Image covers 240 mm x 240 mm; Slice index 68; 240x240 px; Head
FLAIR MR image.
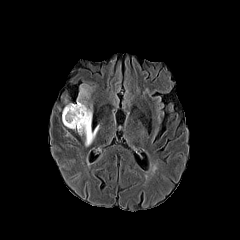
T1-weighted MR.
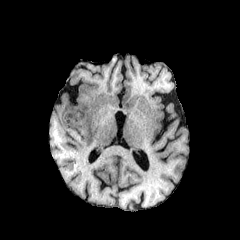
Post-contrast T1-weighted MRI.
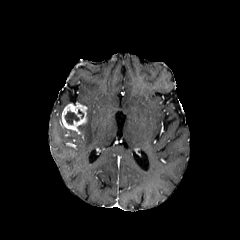
T2-weighted MRI.
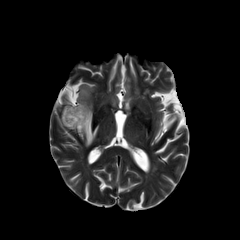
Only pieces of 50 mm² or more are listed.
<segmentation>
  <peritumoral_edema>box=[76, 84, 98, 146]</peritumoral_edema>
  <necrotic_tumor_core>box=[64, 111, 79, 124]</necrotic_tumor_core>
  <enhancing_tumor>box=[62, 102, 87, 133]</enhancing_tumor>
</segmentation>